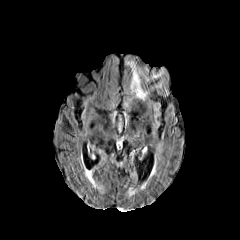
FLAIR magnetic resonance.
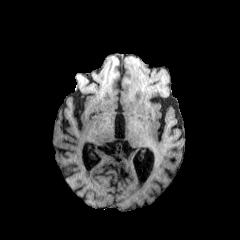
T1-weighted MR image.
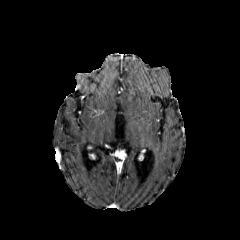
Same slice, post-contrast T1-weighted MR image.
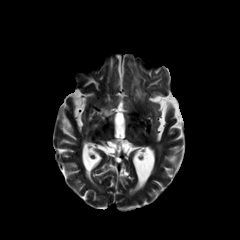
T2-weighted MR image.
Axial plane
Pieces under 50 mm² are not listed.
<segmentation>
  <peritumoral_edema>127, 62, 147, 99</peritumoral_edema>
</segmentation>